Slice 53 of 155; Image size 240x240
FLAIR MR.
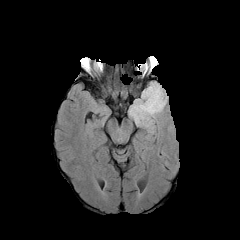
T1-weighted magnetic resonance.
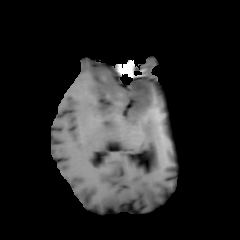
Post-contrast T1-weighted magnetic resonance.
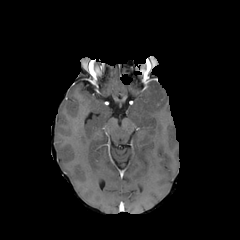
T2-weighted MR.
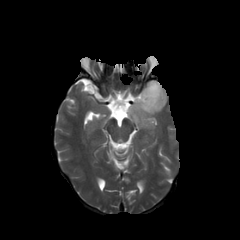
<segmentation>
  <peritumoral_edema>{"x1": 128, "y1": 81, "x2": 167, "y2": 131}</peritumoral_edema>
</segmentation>